Head. Axial view.
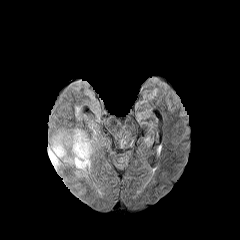
FLAIR MR image.
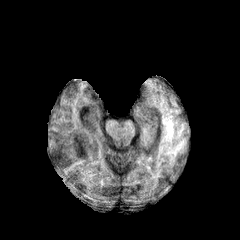
T1-weighted magnetic resonance.
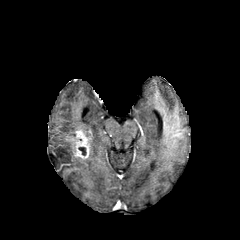
Post-contrast T1-weighted MRI of the same slice.
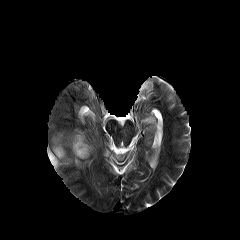
T2-weighted MR.
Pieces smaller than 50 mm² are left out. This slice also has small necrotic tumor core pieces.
The largest peritumoral edema region is located at (x1=48, y1=134, x2=90, y2=170). The enhancing tumor appears at (x1=70, y1=130, x2=90, y2=158).